FLAIR MR image.
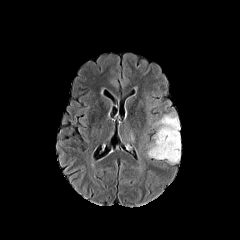
T1-weighted MR image.
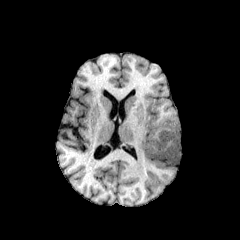
Post-contrast T1-weighted MR image.
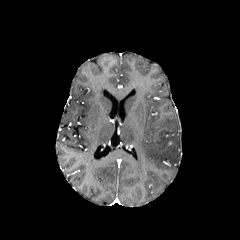
T2-weighted MRI.
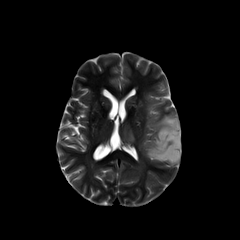
Head
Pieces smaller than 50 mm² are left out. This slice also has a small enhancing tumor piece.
2 peritumoral edema regions are located at <box>126,130,135,142</box>, <box>147,112,180,164</box>.